FLAIR magnetic resonance.
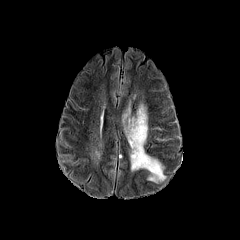
T1-weighted MRI.
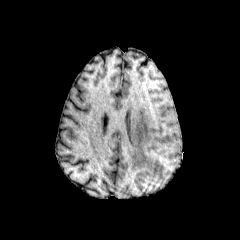
Post-contrast T1-weighted MRI.
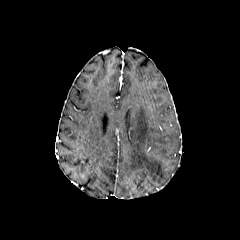
T2-weighted MR image.
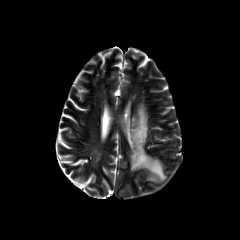
peritumoral_edema:
  - <bbox>127, 105, 165, 181</bbox>